FLAIR MR image.
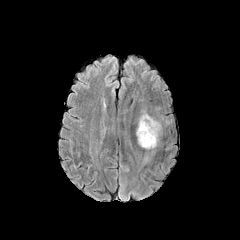
T1-weighted MRI.
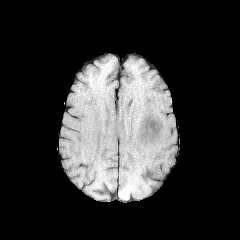
Post-contrast T1-weighted magnetic resonance.
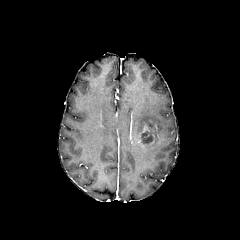
T2-weighted MR.
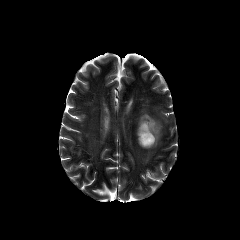
Head
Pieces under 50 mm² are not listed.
peritumoral edema: <bbox>136, 110, 161, 149</bbox> | enhancing tumor: <bbox>138, 121, 155, 146</bbox> | necrotic tumor core: <bbox>141, 131, 153, 144</bbox>